240x240; Image width 240 mm; Head
FLAIR MR image.
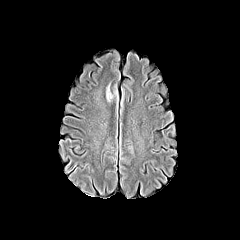
T1-weighted MRI.
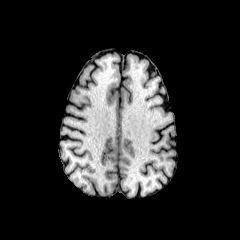
Post-contrast T1-weighted MR image.
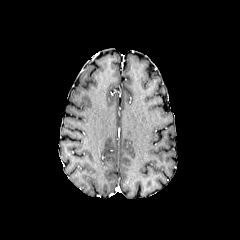
T2-weighted magnetic resonance.
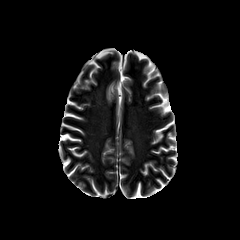
{"peritumoral_edema": ["(106, 81, 117, 103)"]}